FLAIR MR.
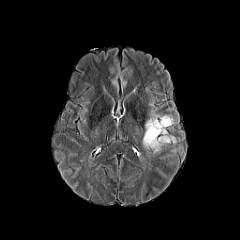
T1-weighted magnetic resonance.
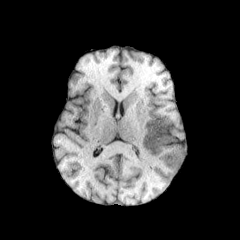
Post-contrast T1-weighted MRI.
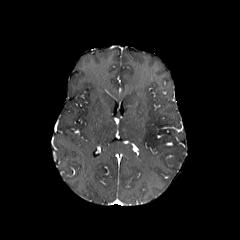
T2-weighted MR image.
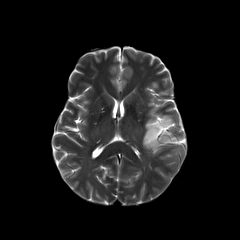
240x240
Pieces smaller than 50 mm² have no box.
peritumoral edema — box=[143, 115, 175, 151]